FLAIR MR.
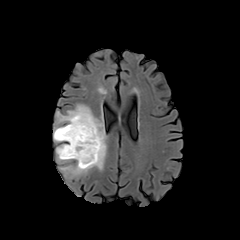
T1-weighted magnetic resonance.
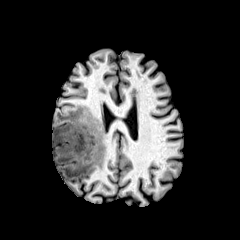
Post-contrast T1-weighted MR image.
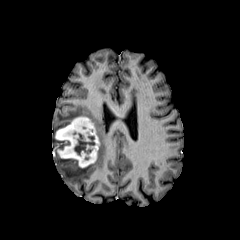
T2-weighted MR image.
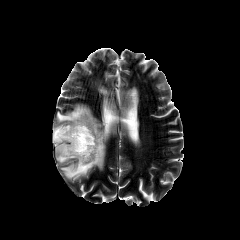
240x240 px, Axial plane
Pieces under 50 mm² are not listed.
<segmentation>
  <enhancing_tumor>l=55, t=116, r=99, b=167</enhancing_tumor>
  <necrotic_tumor_core>l=74, t=133, r=95, b=155</necrotic_tumor_core>
  <peritumoral_edema>l=53, t=104, r=106, b=179</peritumoral_edema>
</segmentation>